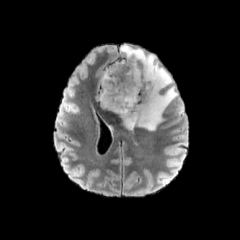
FLAIR MR.
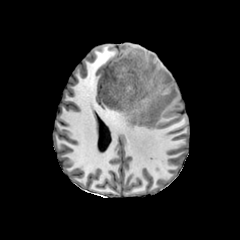
T1-weighted magnetic resonance.
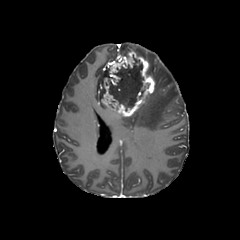
Post-contrast T1-weighted MR image.
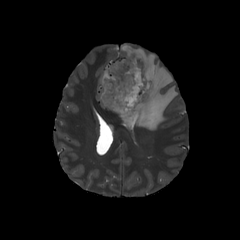
T2-weighted magnetic resonance.
Brain.
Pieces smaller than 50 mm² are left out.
The largest necrotic tumor core region appears at bbox=[109, 56, 144, 110]. The enhancing tumor is at bbox=[101, 50, 155, 116]. The largest peritumoral edema region is at bbox=[120, 44, 177, 130].